FLAIR MRI.
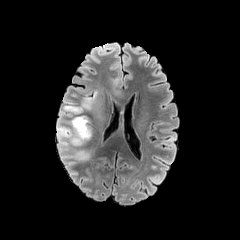
T1-weighted MR.
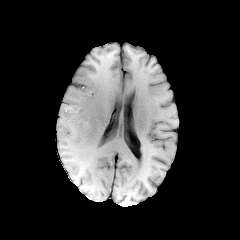
Post-contrast T1-weighted MRI.
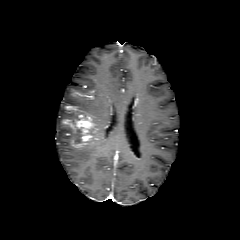
T2-weighted MR image.
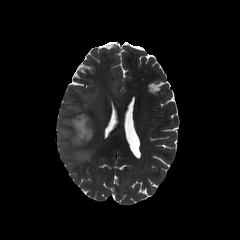
Head. Axial view. 240x240 px.
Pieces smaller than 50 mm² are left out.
{
  "enhancing_tumor": [
    "[63, 114, 95, 147]"
  ],
  "peritumoral_edema": [
    "[57, 96, 94, 160]"
  ]
}